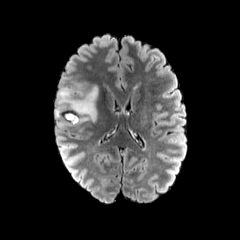
FLAIR MR.
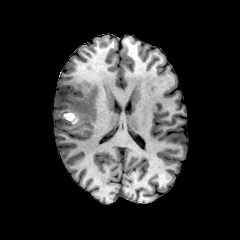
Same slice, T1-weighted MR.
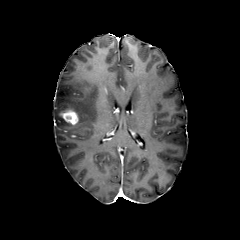
Post-contrast T1-weighted MR image.
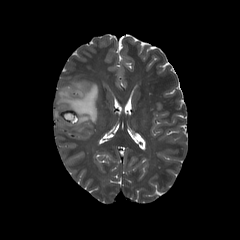
Same slice, T2-weighted MR image.
Axial plane; 240x240 px
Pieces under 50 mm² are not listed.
peritumoral edema: bounding box [54,78,98,127]
enhancing tumor: bounding box [59,109,78,124]